Slice 103/155
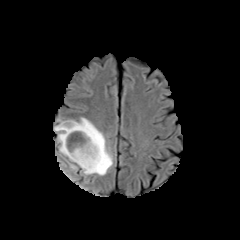
FLAIR magnetic resonance.
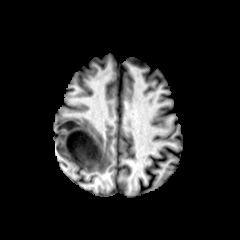
T1-weighted MR image.
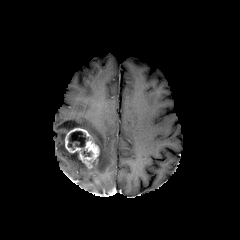
Post-contrast T1-weighted magnetic resonance.
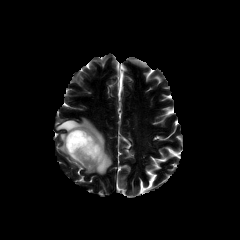
T2-weighted MR image.
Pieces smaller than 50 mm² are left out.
necrotic_tumor_core:
  - left=68, top=131, right=88, bottom=149
peritumoral_edema:
  - left=54, top=117, right=112, bottom=175
enhancing_tumor:
  - left=65, top=128, right=99, bottom=169